Axial view, Brain, 240x240 px, Image covers 240 mm x 240 mm
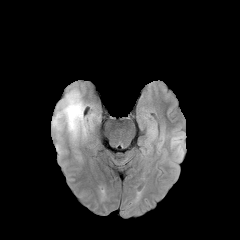
FLAIR magnetic resonance.
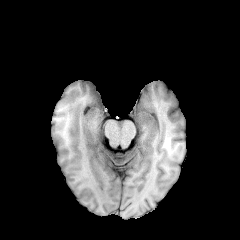
Same slice, T1-weighted MR.
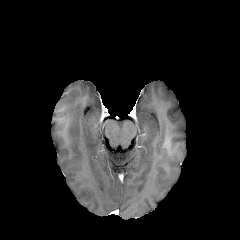
Post-contrast T1-weighted MR.
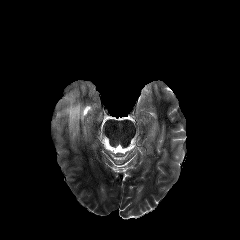
T2-weighted MR image.
The peritumoral edema appears at x1=63, y1=90, x2=86, y2=137.